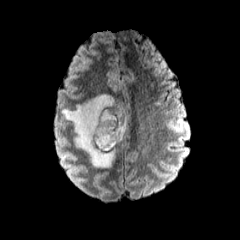
FLAIR MR image.
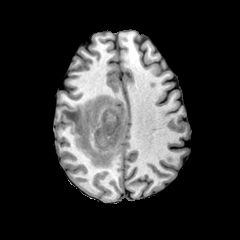
T1-weighted MRI.
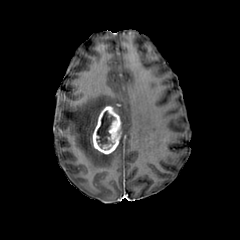
Post-contrast T1-weighted MR image of the same slice.
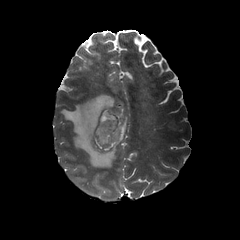
Same slice, T2-weighted MRI.
Head, 240x240 px
The peritumoral edema appears at rect(62, 94, 127, 167). The necrotic tumor core lies within rect(96, 110, 116, 149). The enhancing tumor is at rect(92, 105, 122, 154).